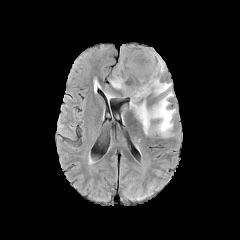
FLAIR MRI.
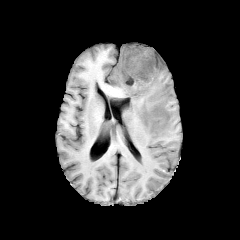
T1-weighted MR.
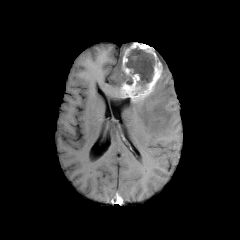
Post-contrast T1-weighted MRI of the same slice.
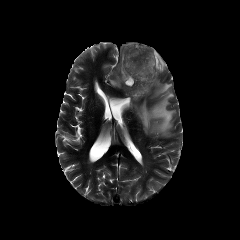
T2-weighted MR.
Image size 240x240
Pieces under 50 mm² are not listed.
peritumoral edema = 118 45 127 71, 130 79 176 137, 98 75 124 96
necrotic tumor core = 125 47 154 87, 123 72 132 84
enhancing tumor = 121 42 162 101